240x240, Image width 240 mm, Head
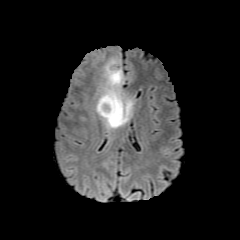
FLAIR magnetic resonance.
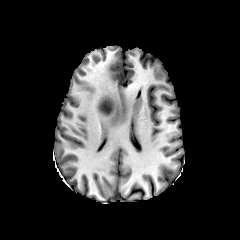
T1-weighted MR.
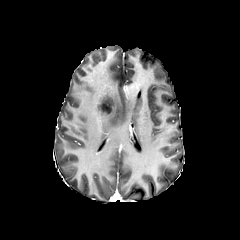
Post-contrast T1-weighted magnetic resonance of the same slice.
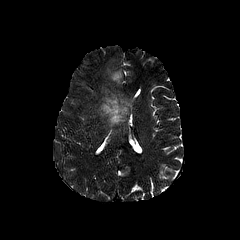
Same slice, T2-weighted MR.
peritumoral edema at rect(96, 60, 133, 130)
necrotic tumor core at rect(101, 103, 111, 112)